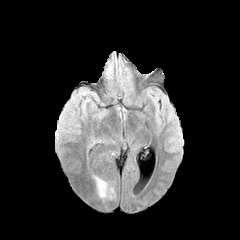
FLAIR magnetic resonance.
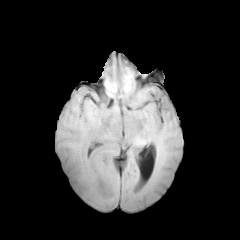
T1-weighted MR image.
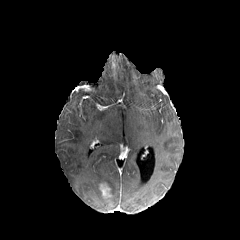
Same slice, post-contrast T1-weighted magnetic resonance.
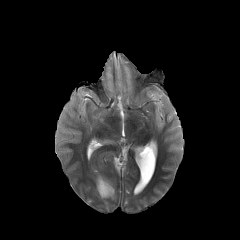
T2-weighted MRI.
Head. Axial slice.
<segmentation>
  <peritumoral_edema>{"x1": 95, "y1": 177, "x2": 114, "y2": 198}</peritumoral_edema>
  <enhancing_tumor>{"x1": 99, "y1": 183, "x2": 111, "y2": 198}</enhancing_tumor>
</segmentation>